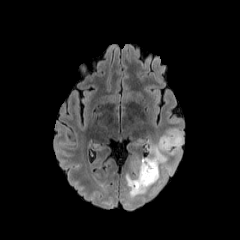
FLAIR MR image.
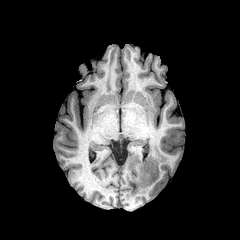
T1-weighted MR image.
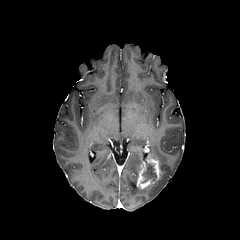
Same slice, post-contrast T1-weighted magnetic resonance.
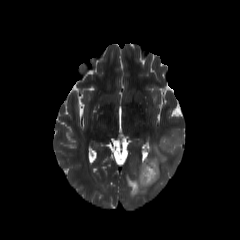
T2-weighted MR image of the same slice.
Segmented structures:
- necrotic tumor core: region(142, 161, 156, 182)
- peritumoral edema: region(126, 128, 183, 197)
- enhancing tumor: region(137, 160, 154, 188); region(146, 157, 160, 179)